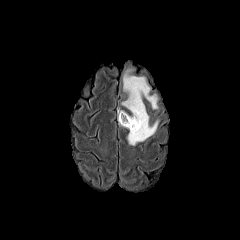
FLAIR magnetic resonance.
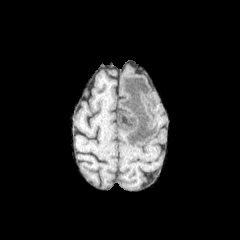
T1-weighted MRI.
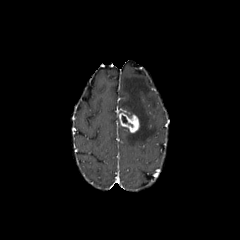
Post-contrast T1-weighted MR.
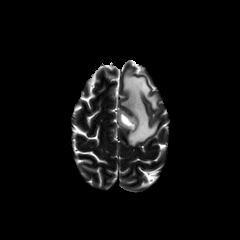
T2-weighted MRI of the same slice.
Head | 240x240 px
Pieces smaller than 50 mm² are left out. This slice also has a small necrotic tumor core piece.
The largest peritumoral edema region is at (121,68,160,145). The enhancing tumor lies within (118,111,139,132).